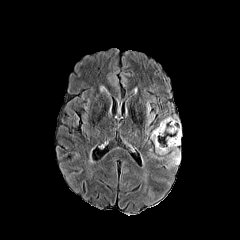
FLAIR MR.
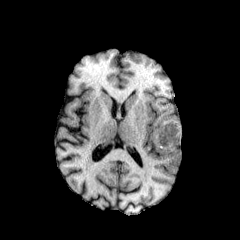
T1-weighted MR.
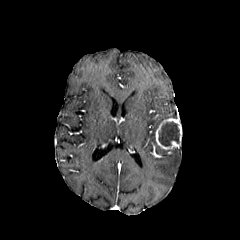
Post-contrast T1-weighted MR.
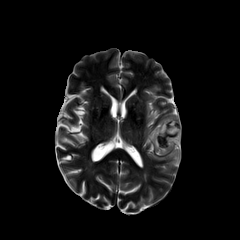
Same slice, T2-weighted MR.
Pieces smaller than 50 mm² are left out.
necrotic tumor core: bbox(159, 122, 179, 146)
enhancing tumor: bbox(155, 118, 181, 149)
peritumoral edema: bbox(150, 130, 180, 167)